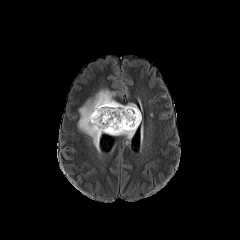
FLAIR MRI.
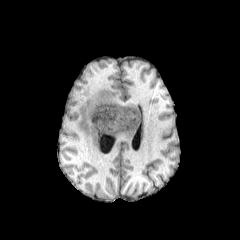
Same slice, T1-weighted MR image.
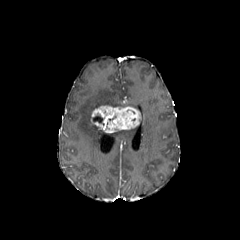
Post-contrast T1-weighted magnetic resonance.
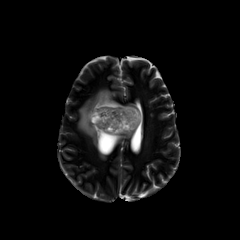
T2-weighted MRI of the same slice.
Axial view
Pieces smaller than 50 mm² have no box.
{
  "peritumoral_edema": [
    "x1=78, y1=89, x2=125, y2=149",
    "x1=110, y1=126, x2=137, y2=139"
  ],
  "enhancing_tumor": [
    "x1=91, y1=105, x2=141, y2=133"
  ],
  "necrotic_tumor_core": [
    "x1=92, y1=115, x2=104, y2=125"
  ]
}